FLAIR MRI.
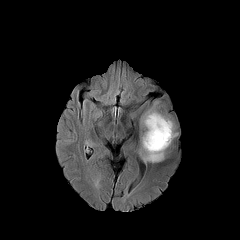
T1-weighted MR.
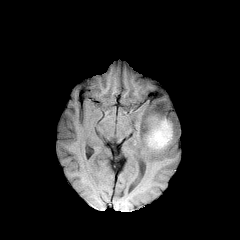
Post-contrast T1-weighted magnetic resonance.
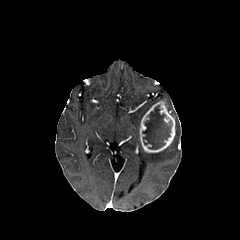
T2-weighted magnetic resonance.
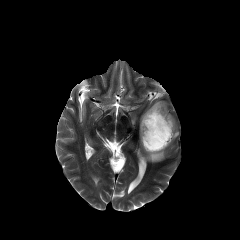
Image size 240x240, Head
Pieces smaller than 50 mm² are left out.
{
  "enhancing_tumor": [
    "[139,101,175,152]"
  ],
  "peritumoral_edema": [
    "[140,146,165,162]"
  ],
  "necrotic_tumor_core": [
    "[142,105,170,149]"
  ]
}